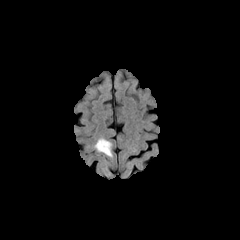
FLAIR MR.
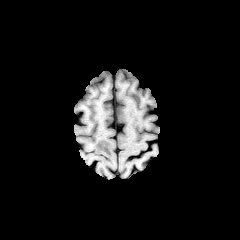
Same slice, T1-weighted MR image.
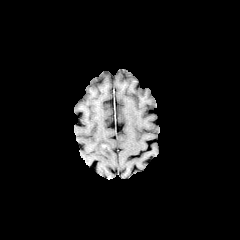
Same slice, post-contrast T1-weighted MR image.
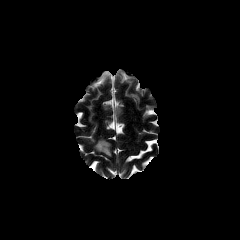
Same slice, T2-weighted MRI.
Head; Axial slice
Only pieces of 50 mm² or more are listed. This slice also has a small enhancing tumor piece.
The peritumoral edema is at x1=94 y1=138 x2=112 y2=157.